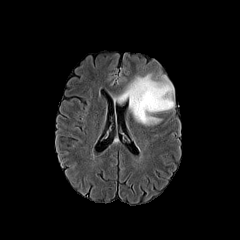
FLAIR MR.
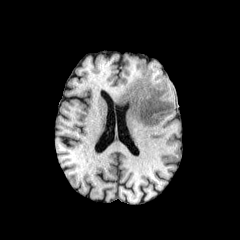
T1-weighted MR.
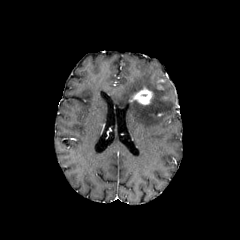
Post-contrast T1-weighted MRI.
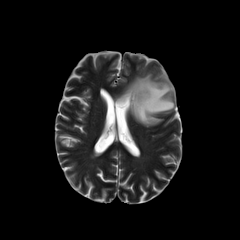
Same slice, T2-weighted magnetic resonance.
Axial plane
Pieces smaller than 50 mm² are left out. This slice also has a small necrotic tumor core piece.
<segmentation>
  <enhancing_tumor>x1=130 y1=87 x2=153 y2=104</enhancing_tumor>
  <peritumoral_edema>x1=116 y1=74 x2=174 y2=125</peritumoral_edema>
</segmentation>